Axial slice, Head, Image size 240x240
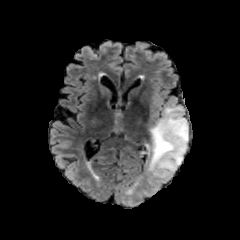
FLAIR MRI.
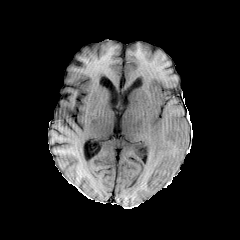
T1-weighted MRI.
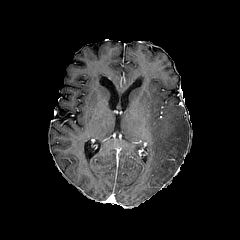
Post-contrast T1-weighted magnetic resonance.
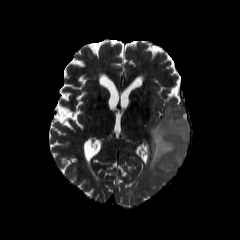
Same slice, T2-weighted MRI.
* peritumoral edema: bbox(146, 106, 188, 179)